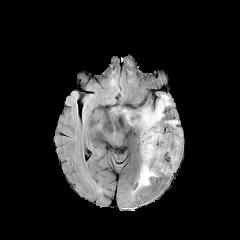
FLAIR MR.
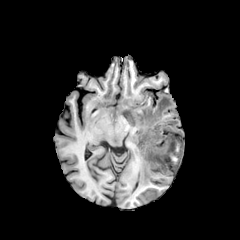
Same slice, T1-weighted MRI.
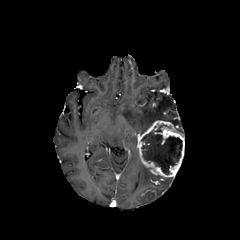
Post-contrast T1-weighted magnetic resonance.
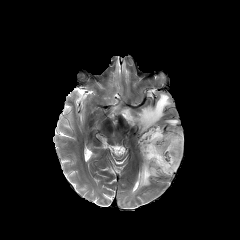
T2-weighted MR.
Axial slice
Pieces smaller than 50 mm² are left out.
The 2 largest peritumoral edema regions appear at {"x1": 122, "y1": 94, "x2": 172, "y2": 134}, {"x1": 137, "y1": 164, "x2": 159, "y2": 189}. The largest enhancing tumor region is at {"x1": 137, "y1": 120, "x2": 184, "y2": 177}. The necrotic tumor core lies within {"x1": 141, "y1": 125, "x2": 182, "y2": 174}.